FLAIR MR image.
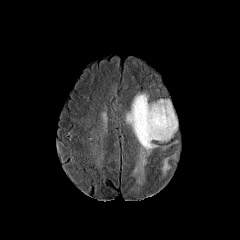
T1-weighted magnetic resonance.
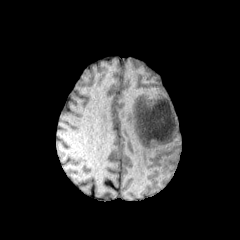
Post-contrast T1-weighted magnetic resonance.
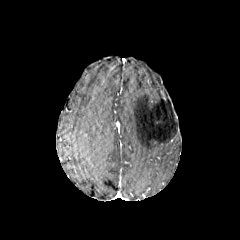
T2-weighted magnetic resonance.
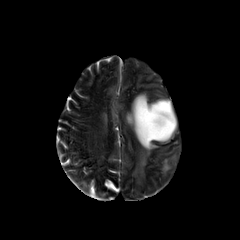
Axial view, Head
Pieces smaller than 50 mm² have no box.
<segmentation>
  <peritumoral_edema>(126,93,177,186), (162,153,176,173)</peritumoral_edema>
</segmentation>